Head; Slice 32/155; Axial view
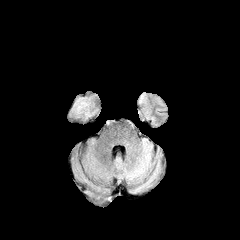
FLAIR magnetic resonance.
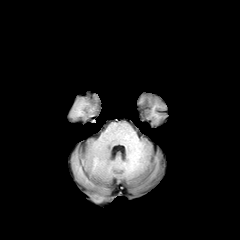
T1-weighted MR image.
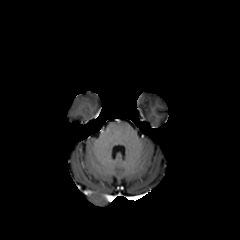
Post-contrast T1-weighted magnetic resonance.
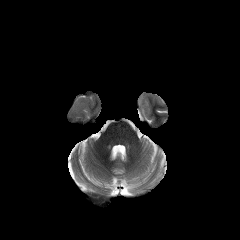
T2-weighted magnetic resonance of the same slice.
peritumoral edema = rect(67, 91, 100, 123)